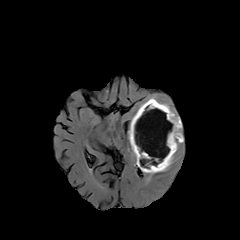
FLAIR magnetic resonance.
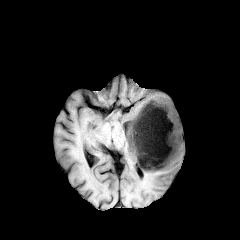
Same slice, T1-weighted MRI.
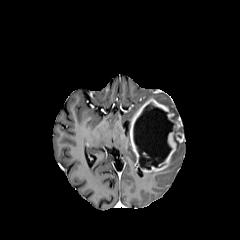
Post-contrast T1-weighted MR image.
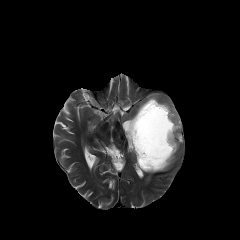
T2-weighted MR image.
Axial plane
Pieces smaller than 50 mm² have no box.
{"peritumoral_edema": ["x1=137, y1=94, x2=179, y2=116", "x1=145, y1=152, x2=175, y2=174"], "necrotic_tumor_core": ["x1=133, y1=103, x2=174, y2=169"], "enhancing_tumor": ["x1=129, y1=98, x2=183, y2=172"]}